Slice 57/155. Brain.
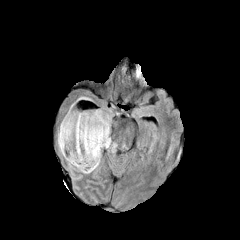
FLAIR MR.
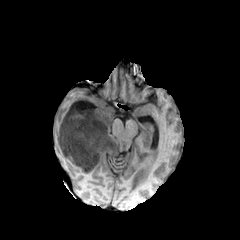
Same slice, T1-weighted MR image.
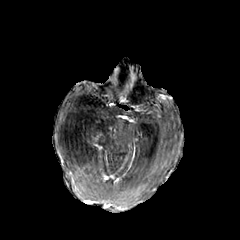
Post-contrast T1-weighted magnetic resonance of the same slice.
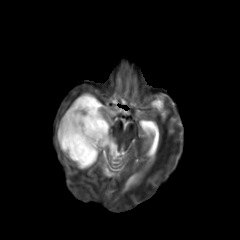
T2-weighted MR of the same slice.
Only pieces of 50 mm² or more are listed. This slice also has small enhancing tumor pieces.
The 2 largest peritumoral edema regions are located at bbox(57, 133, 101, 173); bbox(67, 92, 112, 149). The necrotic tumor core is located at bbox(58, 113, 103, 166).